Axial view; Image covers 240 mm x 240 mm; Brain; Slice 50 of 155
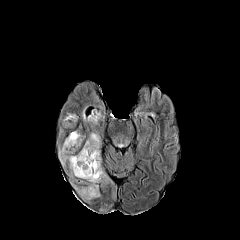
FLAIR MR image.
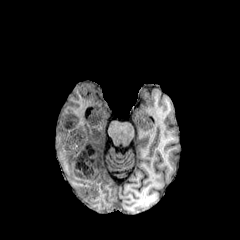
T1-weighted magnetic resonance of the same slice.
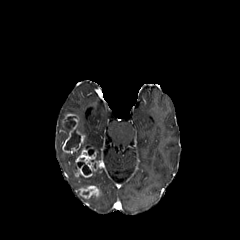
Post-contrast T1-weighted MR image of the same slice.
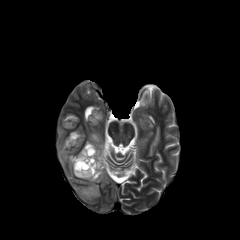
T2-weighted MR image.
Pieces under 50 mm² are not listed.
{"peritumoral_edema": ["78,169,105,186", "85,132,100,152", "58,146,79,175", "83,110,103,125"], "enhancing_tumor": ["74,146,103,177", "62,114,84,153", "79,185,99,199"], "necrotic_tumor_core": ["77,162,91,174", "65,129,80,150", "64,116,75,129"]}